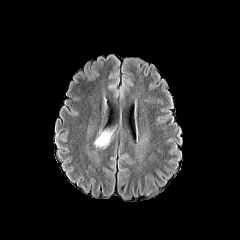
FLAIR MRI.
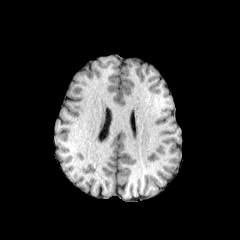
T1-weighted MRI.
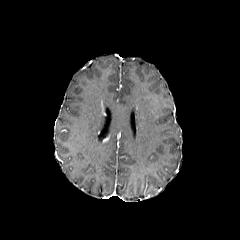
Post-contrast T1-weighted MR image of the same slice.
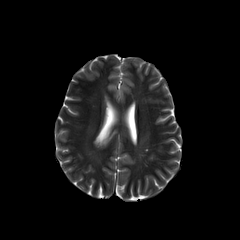
T2-weighted MRI.
Brain
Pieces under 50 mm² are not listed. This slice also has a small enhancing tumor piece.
peritumoral edema = l=94, t=131, r=111, b=147